Head
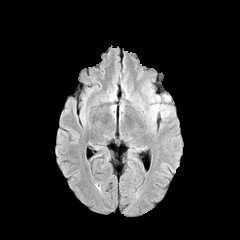
FLAIR magnetic resonance.
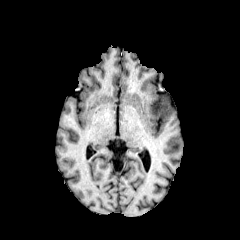
Same slice, T1-weighted magnetic resonance.
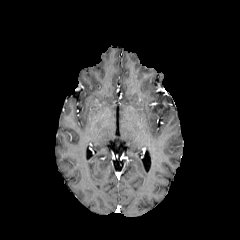
Post-contrast T1-weighted magnetic resonance of the same slice.
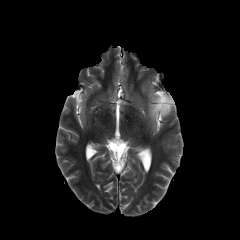
T2-weighted MRI of the same slice.
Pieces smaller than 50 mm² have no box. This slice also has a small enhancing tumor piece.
The peritumoral edema appears at bbox(149, 96, 170, 120).